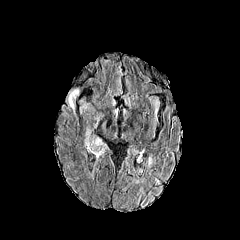
FLAIR magnetic resonance.
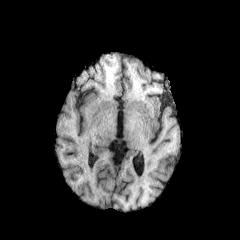
T1-weighted magnetic resonance of the same slice.
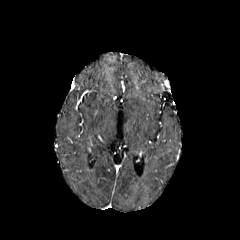
Post-contrast T1-weighted MR.
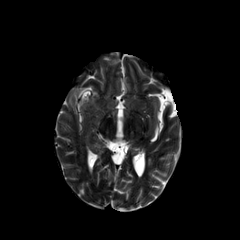
T2-weighted MRI.
peritumoral edema: box=[67, 89, 107, 155]